FLAIR magnetic resonance.
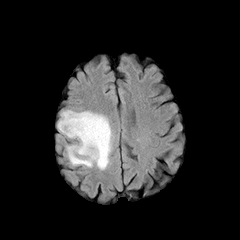
T1-weighted MRI.
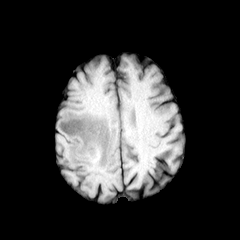
Post-contrast T1-weighted MR.
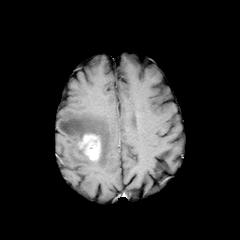
T2-weighted MR.
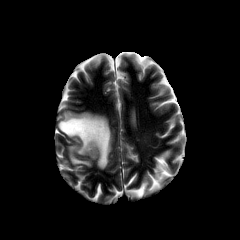
Brain; 240x240; Axial plane
The enhancing tumor is located at l=79, t=134, r=100, b=160. The peritumoral edema is at l=57, t=110, r=113, b=169.